FLAIR MRI.
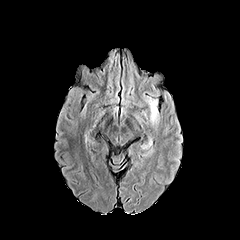
T1-weighted MR image.
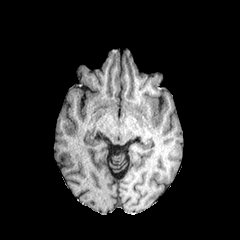
Post-contrast T1-weighted magnetic resonance.
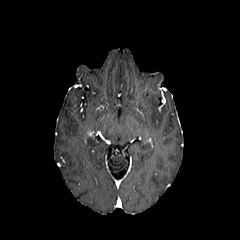
T2-weighted magnetic resonance.
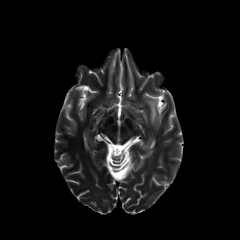
peritumoral edema — region(148, 100, 157, 123)